240x240 px, Head, Slice index 83, Axial plane
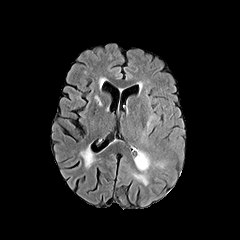
FLAIR MRI.
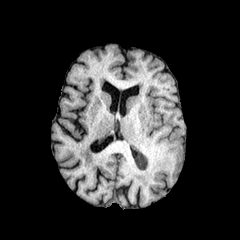
T1-weighted MR image of the same slice.
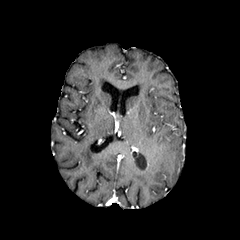
Post-contrast T1-weighted MRI.
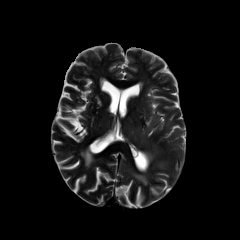
T2-weighted MRI of the same slice.
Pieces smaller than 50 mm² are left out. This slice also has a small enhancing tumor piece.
peritumoral edema: bounding box (x1=134, y1=151, x2=150, y2=172)
necrotic tumor core: bounding box (x1=136, y1=154, x2=147, y2=168)